FLAIR MR.
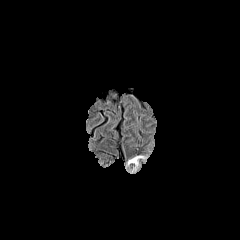
T1-weighted magnetic resonance.
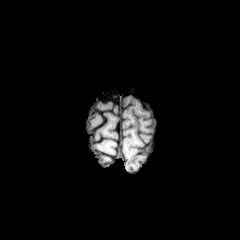
Post-contrast T1-weighted MR.
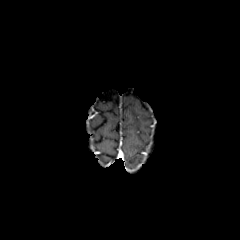
T2-weighted magnetic resonance.
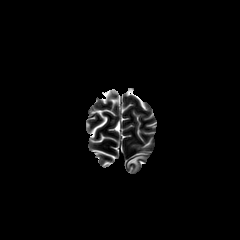
Axial view
peritumoral edema — x1=127 y1=154 x2=146 y2=169